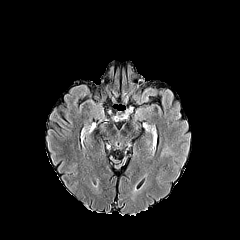
FLAIR MR.
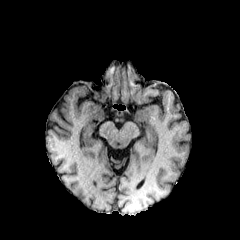
T1-weighted MR.
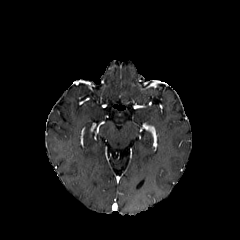
Same slice, post-contrast T1-weighted MRI.
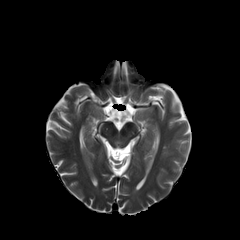
T2-weighted magnetic resonance.
Axial plane
peritumoral edema at [160, 145, 168, 156]